Brain
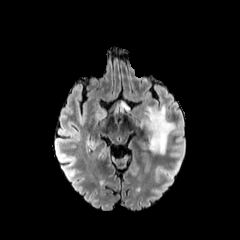
FLAIR MR.
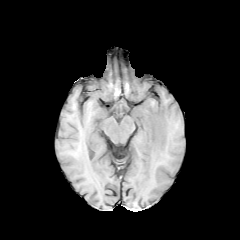
T1-weighted MR.
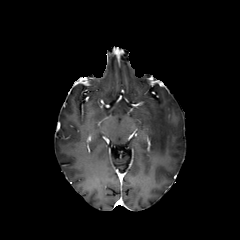
Same slice, post-contrast T1-weighted MR.
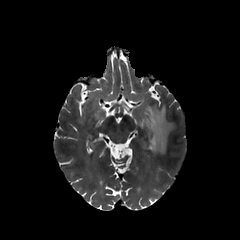
Same slice, T2-weighted MR image.
peritumoral edema — (140, 105, 175, 154), (121, 101, 130, 112)